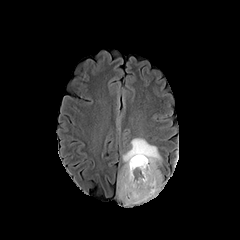
FLAIR magnetic resonance.
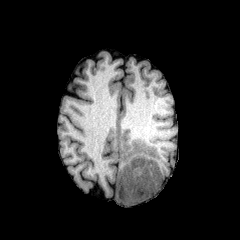
T1-weighted MRI.
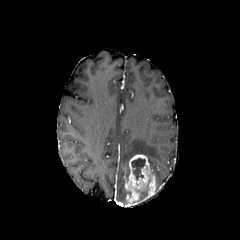
Post-contrast T1-weighted MR.
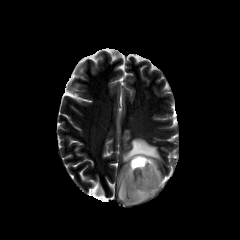
T2-weighted MR.
Image size 240x240 | Head
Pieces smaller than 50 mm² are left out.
The peritumoral edema is located at <bbox>117, 138, 162, 201</bbox>. The largest necrotic tumor core region lies within <bbox>131, 158, 145, 179</bbox>. The enhancing tumor is bounded by <bbox>123, 154, 160, 206</bbox>.